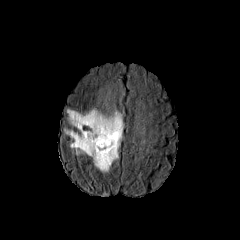
FLAIR magnetic resonance.
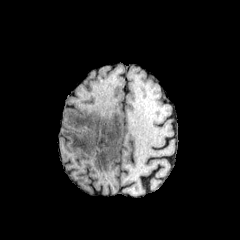
T1-weighted MR.
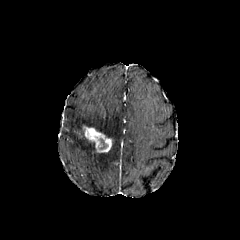
Post-contrast T1-weighted MRI of the same slice.
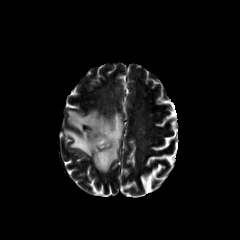
T2-weighted magnetic resonance.
Head | Axial plane | 240x240
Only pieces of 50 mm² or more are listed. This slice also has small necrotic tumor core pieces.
enhancing_tumor:
  - box=[83, 125, 112, 152]
peritumoral_edema:
  - box=[63, 107, 123, 172]